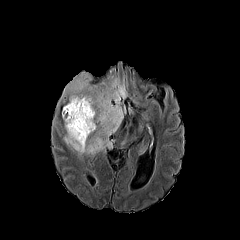
FLAIR MR.
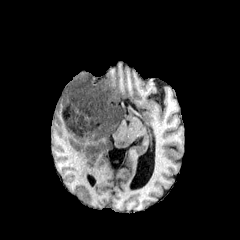
Same slice, T1-weighted magnetic resonance.
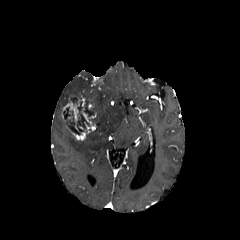
Post-contrast T1-weighted MRI.
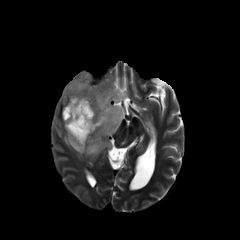
Same slice, T2-weighted MRI.
240x240 px. Brain. Axial view.
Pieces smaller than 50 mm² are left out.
peritumoral edema: bounding box l=61, t=72, r=128, b=156
necrotic tumor core: bounding box l=84, t=100, r=94, b=116; l=70, t=96, r=81, b=103; l=63, t=101, r=89, b=134
enhancing tumor: bounding box l=62, t=90, r=96, b=141